Image size 240x240, Slice 49 of 155
FLAIR magnetic resonance.
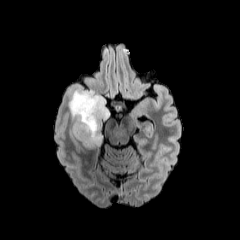
T1-weighted MR.
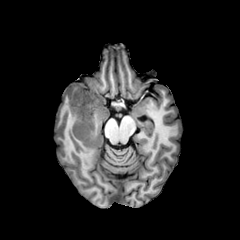
Post-contrast T1-weighted MR image.
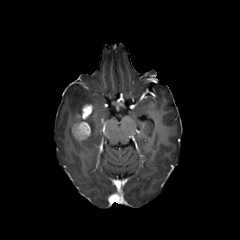
T2-weighted magnetic resonance.
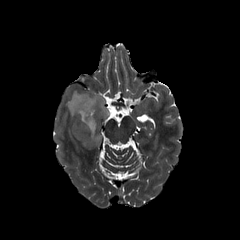
{"enhancing_tumor": ["<bbox>72, 104, 93, 140</bbox>"], "peritumoral_edema": ["<bbox>68, 88, 109, 148</bbox>"]}